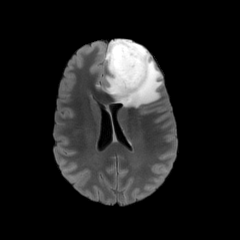
FLAIR MRI.
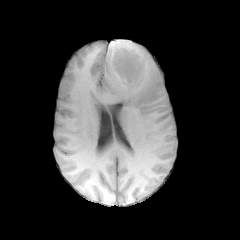
Same slice, T1-weighted magnetic resonance.
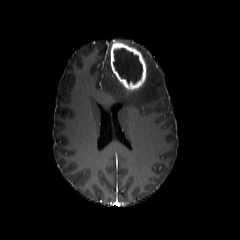
Post-contrast T1-weighted MR image.
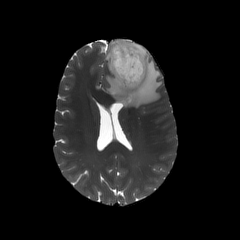
T2-weighted magnetic resonance of the same slice.
Axial view
The enhancing tumor is at bbox(110, 41, 146, 91). The necrotic tumor core lies within bbox(113, 48, 142, 83). The peritumoral edema is at bbox(96, 39, 162, 107).